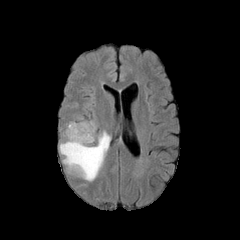
FLAIR magnetic resonance.
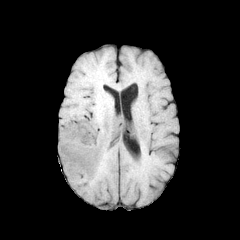
T1-weighted MR.
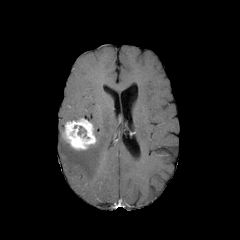
Post-contrast T1-weighted MR image of the same slice.
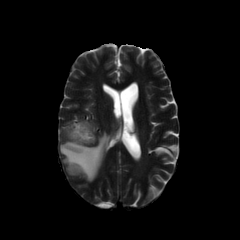
T2-weighted MR of the same slice.
Image size 240x240 | Head
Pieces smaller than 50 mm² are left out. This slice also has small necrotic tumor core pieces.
{"enhancing_tumor": ["62,118,96,150"], "peritumoral_edema": ["59,131,110,181"]}